Image width 240 mm | Slice index 26
FLAIR MRI.
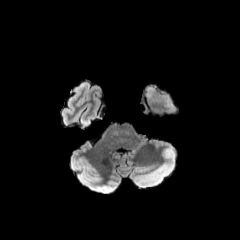
T1-weighted magnetic resonance.
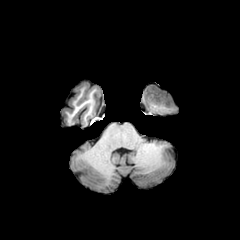
Post-contrast T1-weighted MR image.
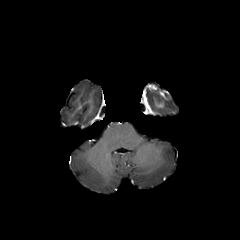
T2-weighted magnetic resonance.
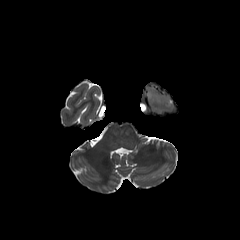
<segmentation>
  <enhancing_tumor><box>146,84,159,90</box>, <box>154,94,163,107</box></enhancing_tumor>
  <peritumoral_edema><box>145,89,173,109</box></peritumoral_edema>
</segmentation>